FLAIR MR.
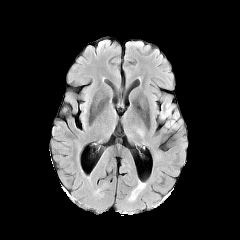
T1-weighted MR.
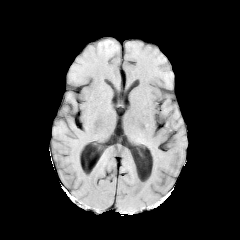
Post-contrast T1-weighted magnetic resonance.
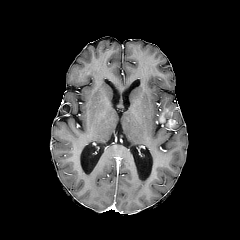
T2-weighted magnetic resonance.
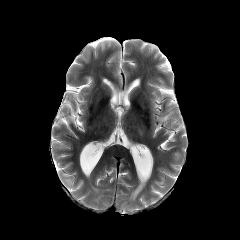
Head
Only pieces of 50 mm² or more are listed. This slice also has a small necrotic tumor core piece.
{"enhancing_tumor": ["rect(160, 109, 176, 128)"], "peritumoral_edema": ["rect(158, 103, 181, 129)"]}